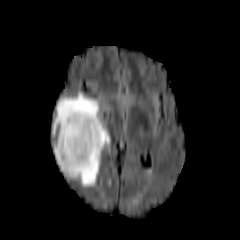
FLAIR MRI.
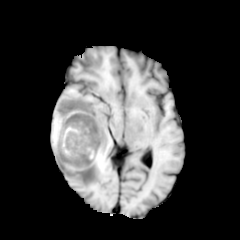
T1-weighted MRI.
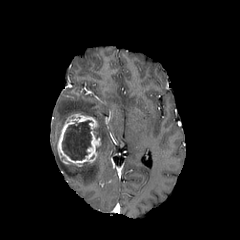
Post-contrast T1-weighted MR.
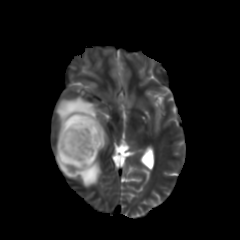
T2-weighted MR image.
Brain, Axial plane
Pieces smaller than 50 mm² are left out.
necrotic tumor core: bounding box [62,120,91,160]
enhancing tumor: bounding box [57,112,100,166]
peritumoral edema: bounding box [53,91,110,187]